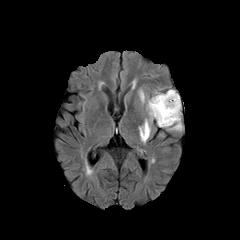
FLAIR MR image.
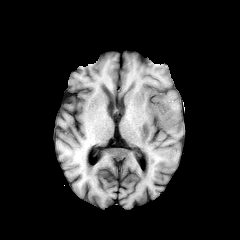
T1-weighted magnetic resonance.
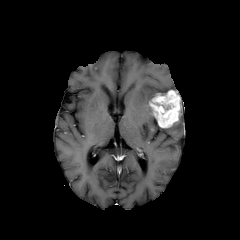
Post-contrast T1-weighted magnetic resonance.
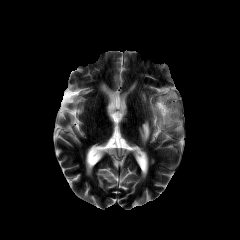
T2-weighted MR.
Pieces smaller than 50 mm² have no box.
The enhancing tumor is located at [149, 90, 181, 128]. The 2 largest peritumoral edema regions are located at [139, 120, 150, 143], [166, 116, 182, 131]. The necrotic tumor core is located at [159, 100, 170, 111].